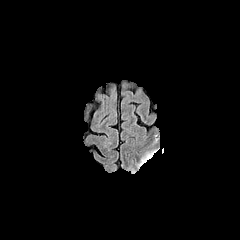
FLAIR MR.
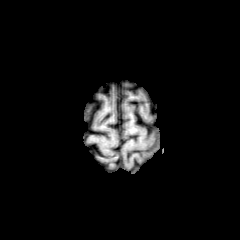
Same slice, T1-weighted MRI.
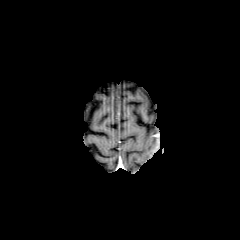
Post-contrast T1-weighted magnetic resonance.
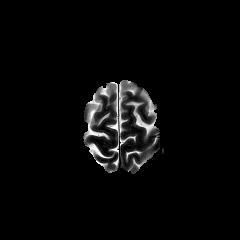
T2-weighted MRI of the same slice.
Axial slice; 240x240 px; Head
peritumoral edema = region(140, 153, 153, 165)